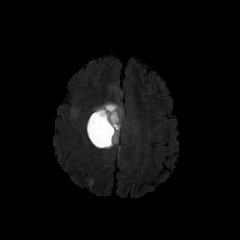
FLAIR magnetic resonance.
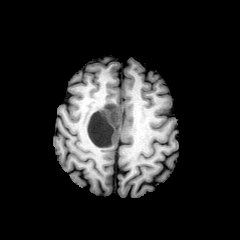
Same slice, T1-weighted MR.
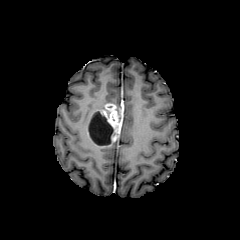
Post-contrast T1-weighted MR of the same slice.
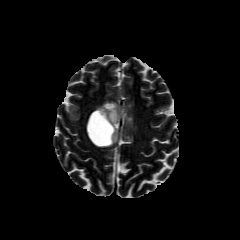
T2-weighted MR.
Head
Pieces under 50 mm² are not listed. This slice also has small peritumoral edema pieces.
necrotic_tumor_core:
  - {"x1": 88, "y1": 111, "x2": 113, "y2": 145}
enhancing_tumor:
  - {"x1": 87, "y1": 103, "x2": 122, "y2": 147}